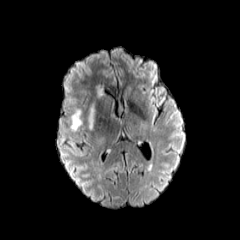
FLAIR MR.
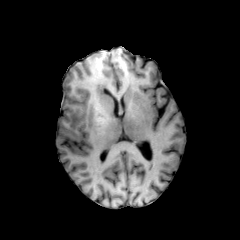
T1-weighted magnetic resonance.
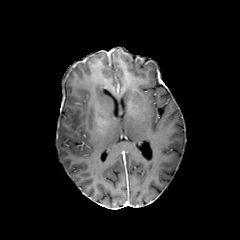
Post-contrast T1-weighted magnetic resonance of the same slice.
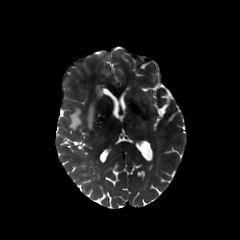
T2-weighted MR of the same slice.
Axial view, Brain, 240x240 px
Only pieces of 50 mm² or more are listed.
peritumoral edema = box=[71, 108, 82, 130]; box=[95, 85, 103, 97]; box=[88, 104, 94, 129]